FLAIR MR.
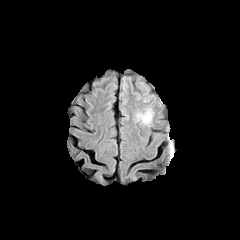
T1-weighted MR image.
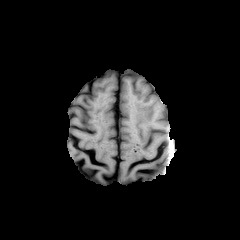
Post-contrast T1-weighted MR image.
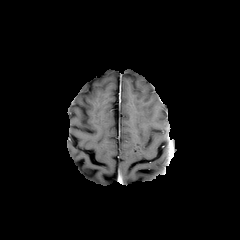
T2-weighted MR image.
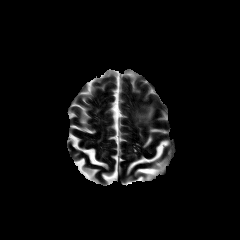
Brain.
peritumoral edema: bounding box {"x1": 137, "y1": 110, "x2": 151, "y2": 123}